FLAIR MR image.
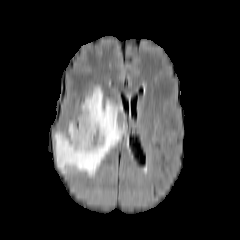
T1-weighted MRI.
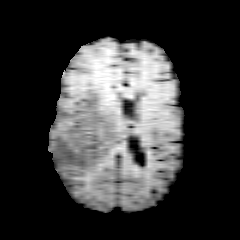
Post-contrast T1-weighted MRI.
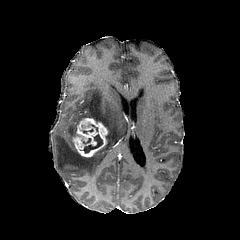
T2-weighted magnetic resonance.
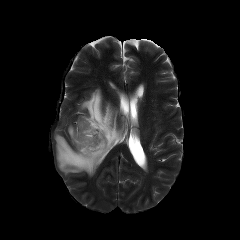
Head, 240x240 px
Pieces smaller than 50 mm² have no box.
{
  "peritumoral_edema": [
    "[54,87,125,176]"
  ],
  "necrotic_tumor_core": [
    "[83,134,102,152]"
  ],
  "enhancing_tumor": [
    "[72,118,108,157]"
  ]
}